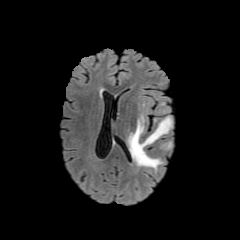
FLAIR MR image.
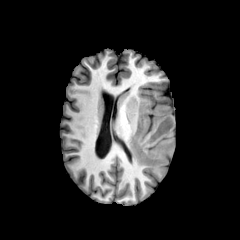
T1-weighted MR of the same slice.
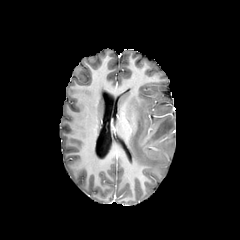
Same slice, post-contrast T1-weighted MR.
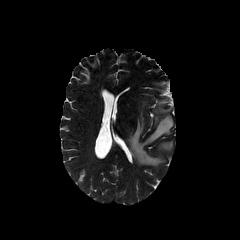
T2-weighted magnetic resonance of the same slice.
240x240 px; Axial view; Head
3 peritumoral edema regions are bounded by [156, 104, 169, 113], [127, 102, 172, 168], [160, 142, 172, 150].